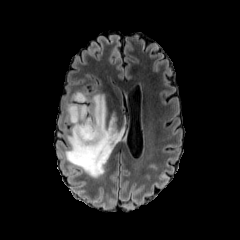
FLAIR MRI.
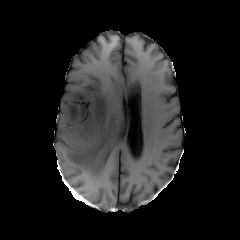
T1-weighted MRI.
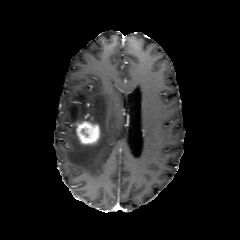
Post-contrast T1-weighted magnetic resonance.
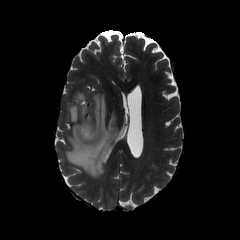
T2-weighted MR.
Brain
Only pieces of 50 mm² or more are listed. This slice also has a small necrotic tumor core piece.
2 peritumoral edema regions are bounded by (65, 93, 125, 178), (72, 92, 86, 101). The enhancing tumor appears at (75, 117, 100, 144).